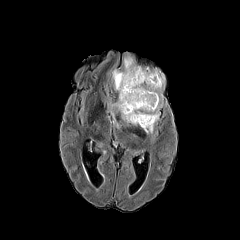
FLAIR MR.
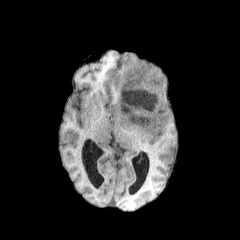
T1-weighted MR.
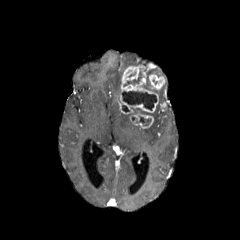
Post-contrast T1-weighted MRI.
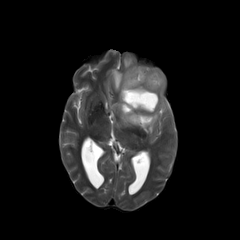
T2-weighted MRI of the same slice.
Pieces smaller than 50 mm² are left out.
The 5 largest necrotic tumor core regions are bounded by x1=143, y1=71, x2=151, y2=90; x1=124, y1=71, x2=141, y2=86; x1=122, y1=91, x2=156, y2=110; x1=131, y1=108, x2=149, y2=114; x1=139, y1=117, x2=151, y2=125. The enhancing tumor is at x1=118, y1=65, x2=165, y2=128. The 6 largest peritumoral edema regions are located at x1=111, y1=68, x2=122, y2=93; x1=144, y1=104, x2=159, y2=134; x1=121, y1=113, x2=130, y2=124; x1=156, y1=89, x2=163, y2=101; x1=107, y1=102, x2=119, y2=127; x1=123, y1=56, x2=135, y2=68.